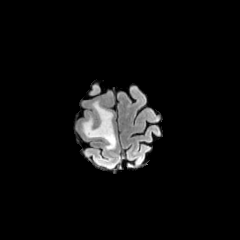
FLAIR MRI.
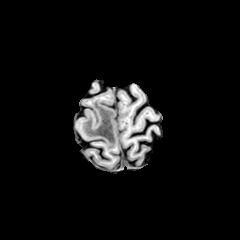
T1-weighted MR.
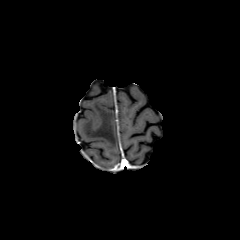
Post-contrast T1-weighted MR.
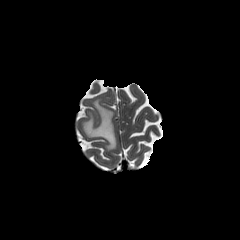
Same slice, T2-weighted MR.
Axial slice | Brain
peritumoral edema: bbox=[81, 100, 116, 149]